Brain, 240x240 px
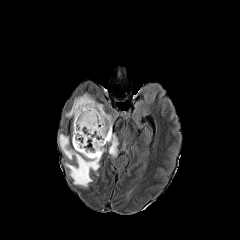
FLAIR magnetic resonance.
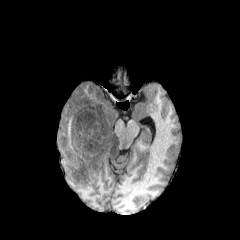
T1-weighted MR.
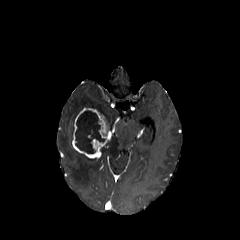
Same slice, post-contrast T1-weighted MRI.
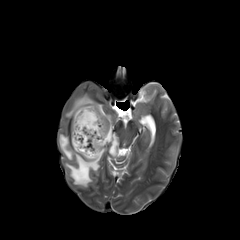
Same slice, T2-weighted MRI.
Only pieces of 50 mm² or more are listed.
The largest enhancing tumor region is at <box>72,107,112,159</box>. The necrotic tumor core lies within <box>75,110,105,153</box>. The 3 largest peritumoral edema regions are located at <box>65,93,111,131</box>, <box>108,134,118,157</box>, <box>59,134,100,187</box>.